Image width 240 mm. 240x240.
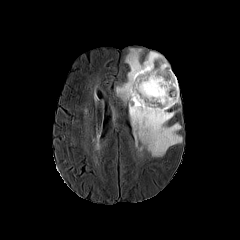
FLAIR MRI.
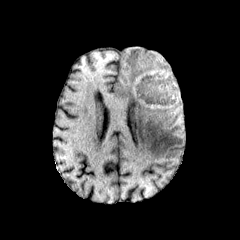
T1-weighted magnetic resonance of the same slice.
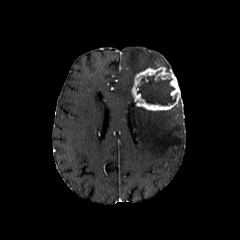
Post-contrast T1-weighted MRI.
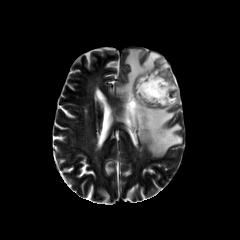
Same slice, T2-weighted MRI.
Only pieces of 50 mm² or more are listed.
{"enhancing_tumor": ["region(131, 65, 180, 111)"], "peritumoral_edema": ["region(116, 48, 182, 157)"], "necrotic_tumor_core": ["region(137, 76, 175, 105)"]}